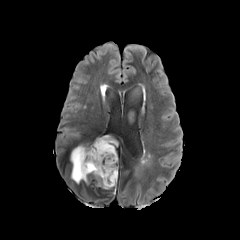
FLAIR magnetic resonance.
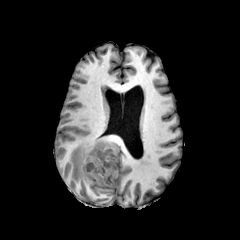
Same slice, T1-weighted MRI.
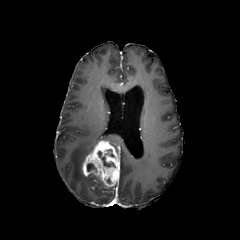
Post-contrast T1-weighted magnetic resonance.
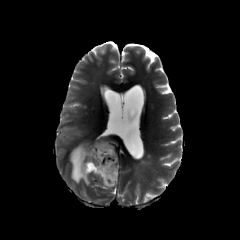
T2-weighted MR of the same slice.
Brain
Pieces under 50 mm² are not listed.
• necrotic tumor core: bbox=[101, 157, 114, 166]; bbox=[87, 163, 96, 171]
• enhancing tumor: bbox=[82, 140, 119, 187]
• peritumoral edema: bbox=[70, 136, 117, 184]